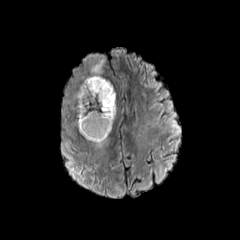
FLAIR MR image.
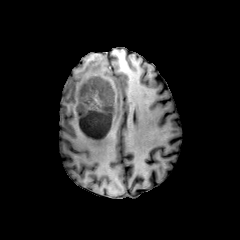
T1-weighted MR image of the same slice.
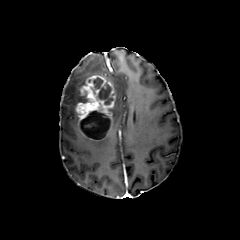
Post-contrast T1-weighted magnetic resonance.
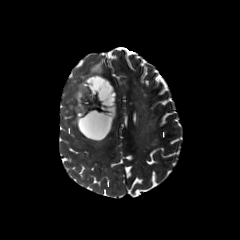
T2-weighted MR image.
Axial slice
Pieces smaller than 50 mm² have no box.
enhancing tumor = <box>76,75,115,139</box>
necrotic tumor core = <box>80,111,110,139</box>, <box>93,78,112,104</box>
peritumoral edema = <box>68,58,105,111</box>